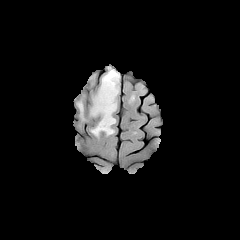
FLAIR MR.
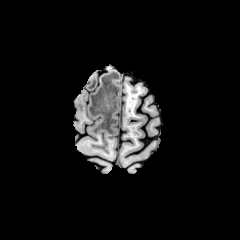
Same slice, T1-weighted magnetic resonance.
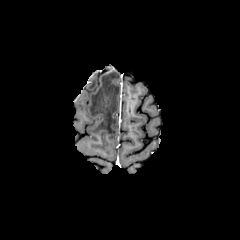
Post-contrast T1-weighted MR image of the same slice.
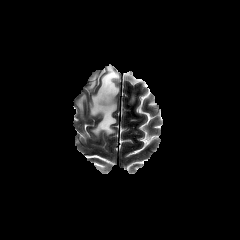
T2-weighted MR.
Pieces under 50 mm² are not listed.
{
  "peritumoral_edema": [
    {"x1": 77, "y1": 101, "x2": 83, "y2": 115},
    {"x1": 90, "y1": 68, "x2": 119, "y2": 135}
  ]
}